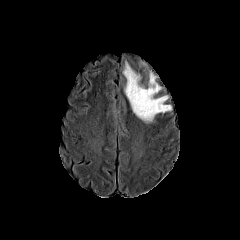
FLAIR MR.
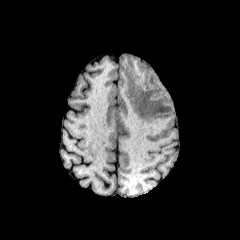
T1-weighted MR image.
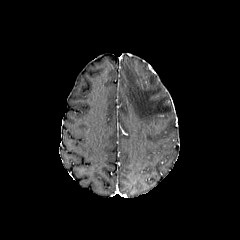
Post-contrast T1-weighted magnetic resonance.
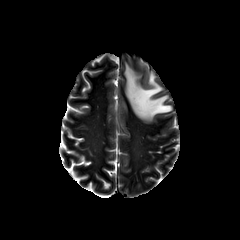
Same slice, T2-weighted MRI.
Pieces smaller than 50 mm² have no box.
Segmented structures:
* peritumoral edema: bbox=[124, 62, 171, 122]